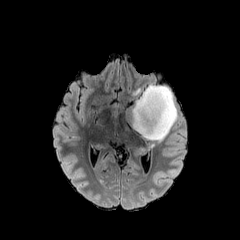
FLAIR MRI.
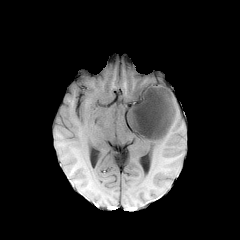
Same slice, T1-weighted MRI.
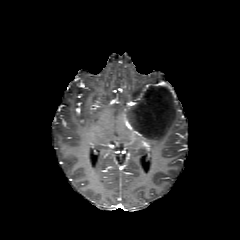
Post-contrast T1-weighted MR.
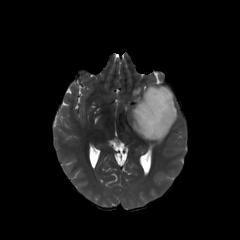
T2-weighted magnetic resonance.
Axial view, Brain
peritumoral edema — 126, 84, 177, 143